Slice 114 of 155, Image width 240 mm, 1.00 mm slice spacing
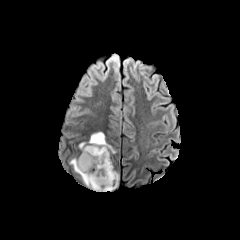
FLAIR MR.
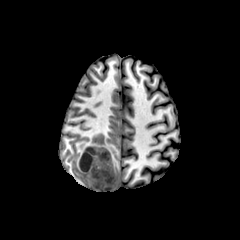
T1-weighted magnetic resonance of the same slice.
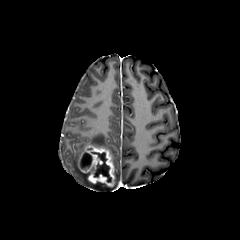
Post-contrast T1-weighted MRI.
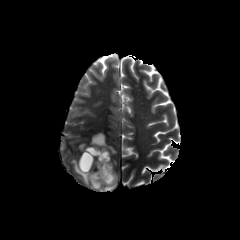
T2-weighted MR image of the same slice.
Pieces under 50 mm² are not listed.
necrotic tumor core at (left=80, top=152, right=92, bottom=170), (left=91, top=152, right=111, bottom=182)
enhancing tumor at (left=77, top=145, right=115, bottom=186)
peritumoral edema at (left=79, top=142, right=86, bottom=151), (left=70, top=158, right=115, bottom=190), (left=89, top=132, right=115, bottom=153)